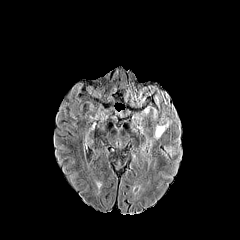
FLAIR MRI.
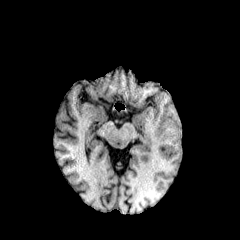
T1-weighted MR.
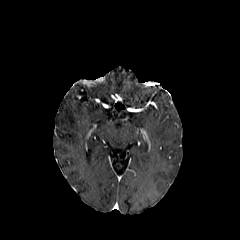
Post-contrast T1-weighted MR.
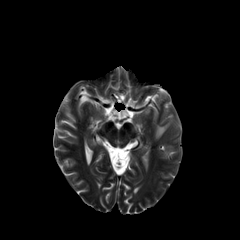
T2-weighted MR of the same slice.
Image size 240x240
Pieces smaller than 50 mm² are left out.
peritumoral edema: x1=154 y1=121 x2=170 y2=139